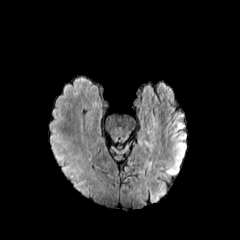
FLAIR MRI.
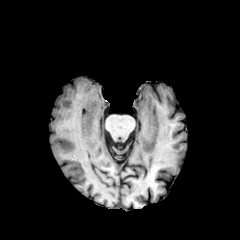
T1-weighted magnetic resonance.
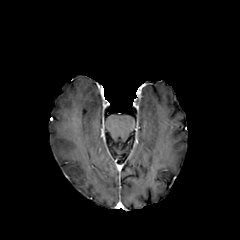
Post-contrast T1-weighted magnetic resonance.
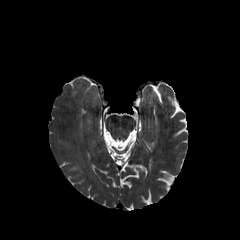
T2-weighted magnetic resonance.
Brain; 240x240 px
The peritumoral edema is bounded by region(50, 140, 90, 196).